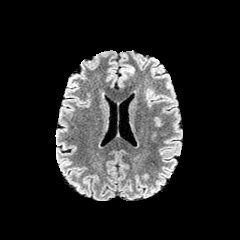
FLAIR magnetic resonance.
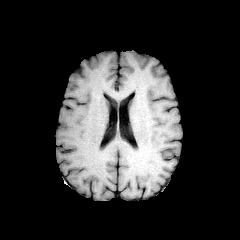
T1-weighted MR.
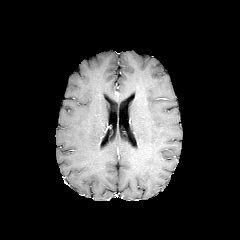
Post-contrast T1-weighted MRI of the same slice.
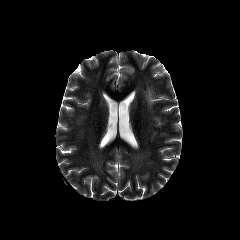
T2-weighted MR of the same slice.
240x240, Brain
Findings:
• peritumoral edema: box(123, 66, 133, 74)